FLAIR magnetic resonance.
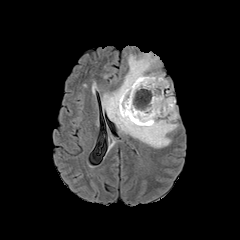
T1-weighted MRI.
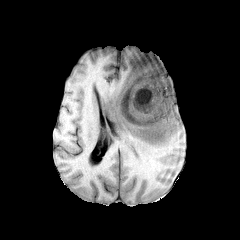
Post-contrast T1-weighted MRI.
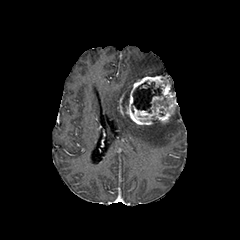
T2-weighted MR image.
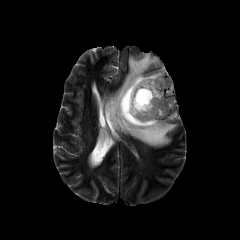
Axial slice. Head.
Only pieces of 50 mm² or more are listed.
{"necrotic_tumor_core": ["region(132, 82, 162, 112)"], "enhancing_tumor": ["region(118, 75, 176, 125)"], "peritumoral_edema": ["region(122, 89, 130, 113)", "region(102, 53, 178, 147)"]}